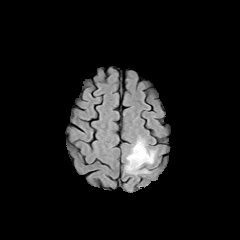
FLAIR MRI.
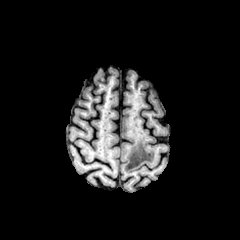
T1-weighted MR.
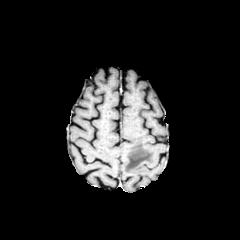
Post-contrast T1-weighted MRI.
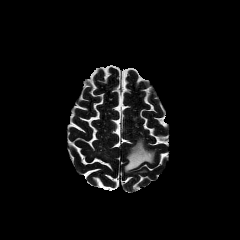
T2-weighted MR of the same slice.
Image size 240x240
peritumoral edema — x1=125 y1=137 x2=155 y2=173